FLAIR MR.
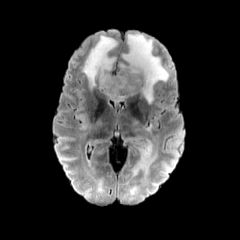
T1-weighted magnetic resonance.
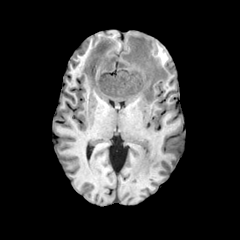
Post-contrast T1-weighted MR.
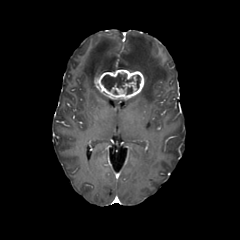
T2-weighted MR image.
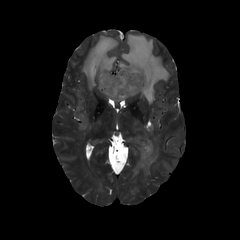
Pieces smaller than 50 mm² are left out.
peritumoral_edema:
  - l=125, t=138, r=155, b=185
  - l=78, t=114, r=86, b=130
  - l=82, t=35, r=117, b=88
  - l=117, t=33, r=169, b=103
enhancing_tumor:
  - l=94, t=69, r=144, b=99
necrotic_tumor_core:
  - l=101, t=73, r=133, b=90
  - l=136, t=75, r=140, b=88